Slice 102 of 155. Image size 240x240. Axial slice.
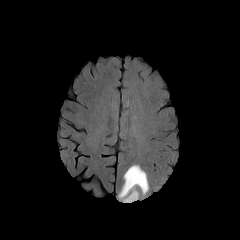
FLAIR MR.
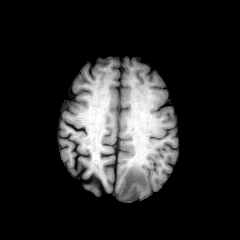
T1-weighted MR image.
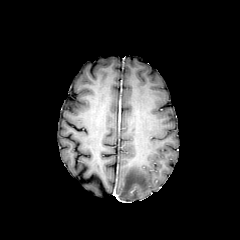
Post-contrast T1-weighted MR.
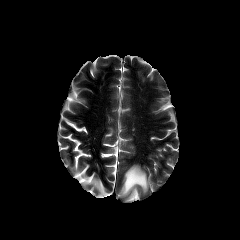
T2-weighted magnetic resonance.
peritumoral_edema:
  - bbox=[119, 165, 148, 202]